FLAIR MR.
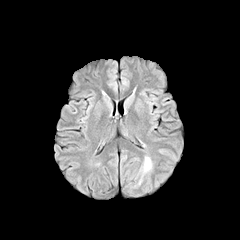
T1-weighted magnetic resonance.
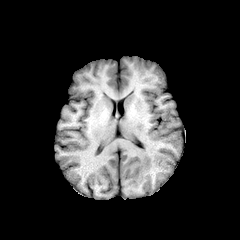
Post-contrast T1-weighted magnetic resonance.
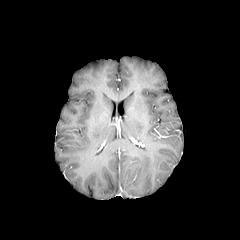
T2-weighted MR.
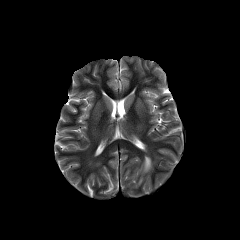
Head, Axial slice, Image size 240x240
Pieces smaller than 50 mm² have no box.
The largest peritumoral edema region is located at x1=143, y1=156, x2=151, y2=172.